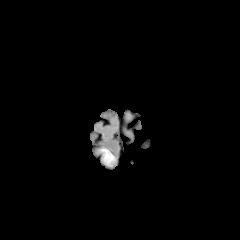
FLAIR MR.
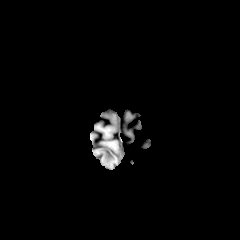
Same slice, T1-weighted magnetic resonance.
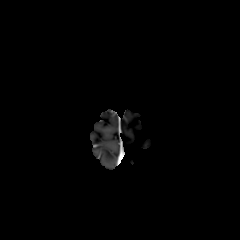
Same slice, post-contrast T1-weighted MR image.
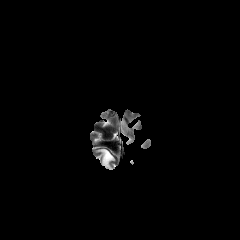
T2-weighted MR image of the same slice.
Axial plane. Head.
peritumoral edema: <box>102,149,113,160</box>